Slice index 54, Image size 240x240, Brain
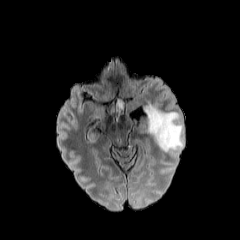
FLAIR MR image.
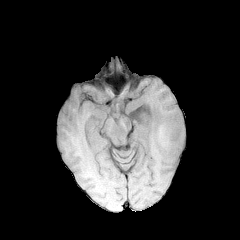
T1-weighted MR image.
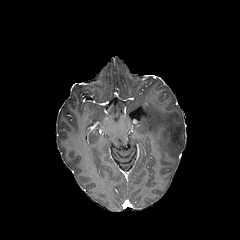
Post-contrast T1-weighted MR of the same slice.
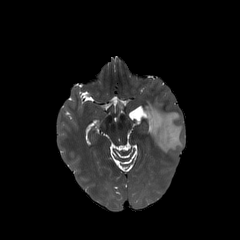
T2-weighted magnetic resonance.
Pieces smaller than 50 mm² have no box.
The largest peritumoral edema region is located at x1=145, y1=99, x2=184, y2=154.